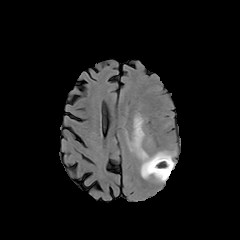
FLAIR MR.
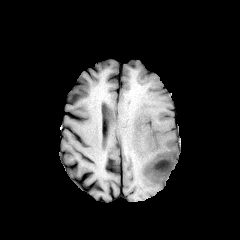
T1-weighted magnetic resonance.
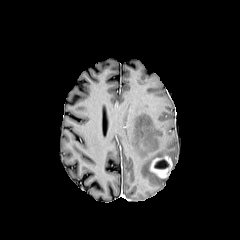
Post-contrast T1-weighted MR.
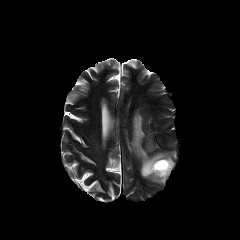
T2-weighted MR.
Brain
The enhancing tumor appears at [x1=149, y1=156, x2=172, y2=178]. The necrotic tumor core lies within [x1=154, y1=159, x2=168, y2=168]. The peritumoral edema lies within [x1=128, y1=114, x2=175, y2=182].